FLAIR magnetic resonance.
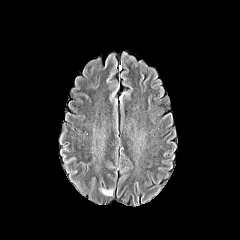
T1-weighted MRI.
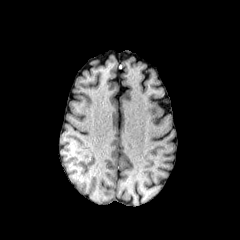
Post-contrast T1-weighted MRI.
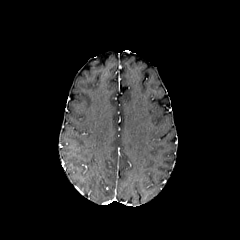
T2-weighted MR.
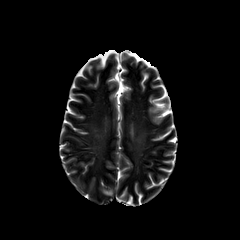
Axial slice
peritumoral edema — [102, 189, 112, 195]